FLAIR MRI.
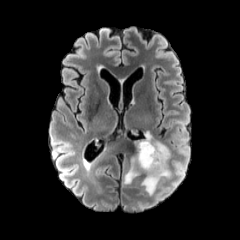
T1-weighted MR image.
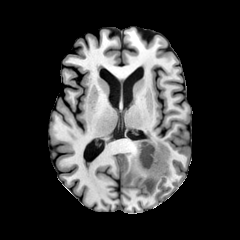
Post-contrast T1-weighted magnetic resonance.
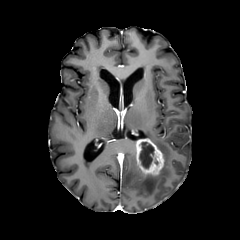
T2-weighted MRI.
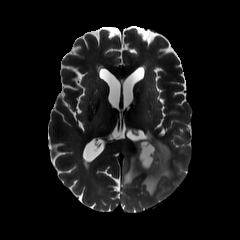
Axial slice
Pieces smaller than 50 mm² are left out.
enhancing tumor: {"x1": 135, "y1": 138, "x2": 164, "y2": 175}
necrotic tumor core: {"x1": 139, "y1": 142, "x2": 154, "y2": 168}
peritumoral edema: {"x1": 124, "y1": 156, "x2": 141, "y2": 184}, {"x1": 140, "y1": 131, "x2": 170, "y2": 195}